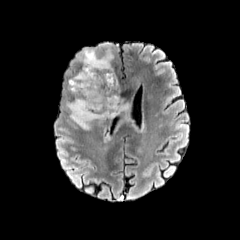
FLAIR MR image.
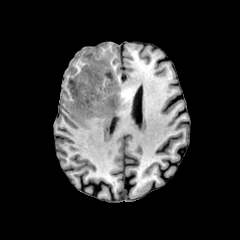
T1-weighted MR of the same slice.
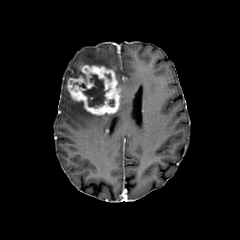
Post-contrast T1-weighted MR of the same slice.
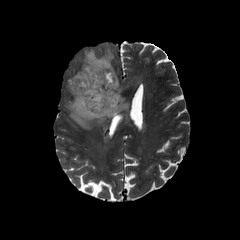
T2-weighted MR image of the same slice.
240x240.
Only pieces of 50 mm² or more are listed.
peritumoral edema: rect(72, 71, 85, 79); rect(66, 98, 129, 129); rect(78, 48, 113, 69) | necrotic tumor core: rect(79, 74, 105, 106) | enhancing tumor: rect(67, 65, 120, 115)